FLAIR MR image.
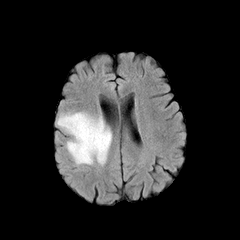
T1-weighted magnetic resonance.
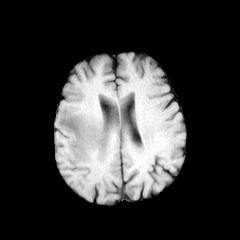
Post-contrast T1-weighted MR image.
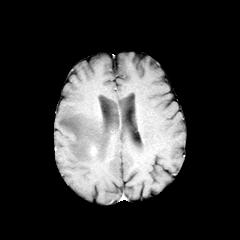
T2-weighted MR.
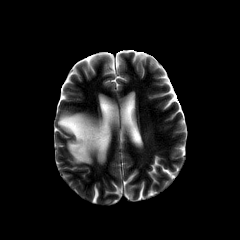
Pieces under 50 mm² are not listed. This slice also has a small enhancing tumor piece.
Segmented structures:
- peritumoral edema: (left=57, top=112, right=111, bottom=164)